Brain. 240x240. Slice 101/155.
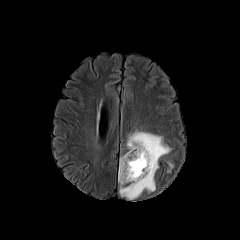
FLAIR MRI.
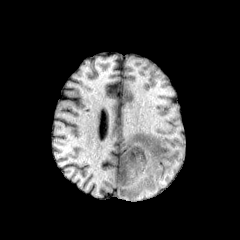
Same slice, T1-weighted MRI.
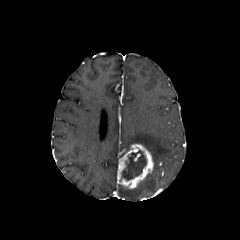
Post-contrast T1-weighted magnetic resonance.
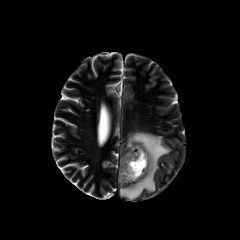
T2-weighted MR image of the same slice.
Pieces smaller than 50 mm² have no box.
enhancing tumor — bbox=[117, 143, 153, 188]
peritumoral edema — bbox=[119, 130, 170, 200]
necrotic tumor core — bbox=[122, 150, 146, 180]